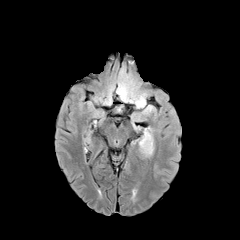
FLAIR MR image.
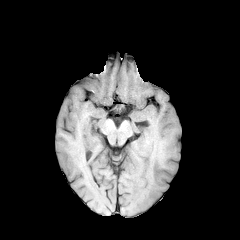
T1-weighted MRI.
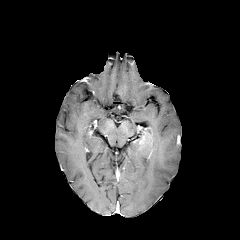
Post-contrast T1-weighted MRI.
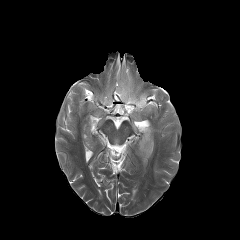
T2-weighted MRI.
Axial plane. Brain.
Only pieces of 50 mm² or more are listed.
enhancing tumor: x1=139, y1=128, x2=147, y2=144 | peritumoral edema: x1=142, y1=105, x2=155, y2=115; x1=133, y1=127, x2=154, y2=158; x1=118, y1=80, x2=146, y2=107